FLAIR magnetic resonance.
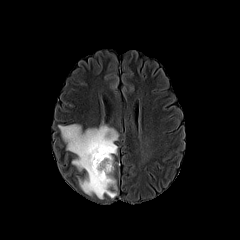
T1-weighted MR.
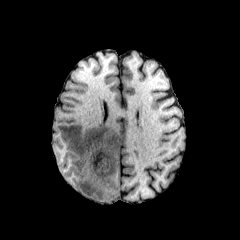
Post-contrast T1-weighted MRI.
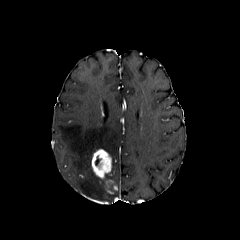
T2-weighted MR.
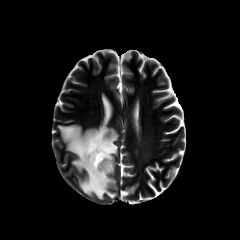
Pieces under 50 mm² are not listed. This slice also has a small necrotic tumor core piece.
enhancing_tumor:
  - x1=105, y1=179, x2=117, y2=190
  - x1=91, y1=149, x2=112, y2=179
peritumoral_edema:
  - x1=58, y1=124, x2=118, y2=199
  - x1=106, y1=166, x2=116, y2=184